Brain | 240x240 px | Image width 240 mm | Axial slice
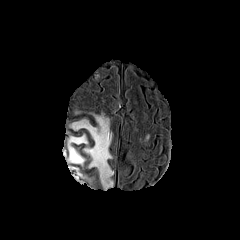
FLAIR magnetic resonance.
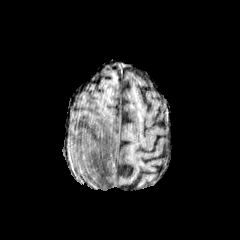
T1-weighted MR image.
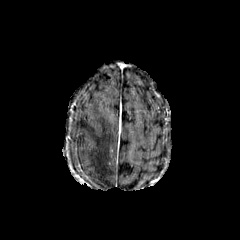
Same slice, post-contrast T1-weighted MRI.
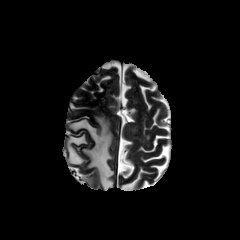
Same slice, T2-weighted MRI.
2 peritumoral edema regions are bounded by <box>68,135,87,164</box>, <box>72,116,113,188</box>.